240x240. Image width 240 mm, 1.00 mm slice spacing. Slice 83 of 155.
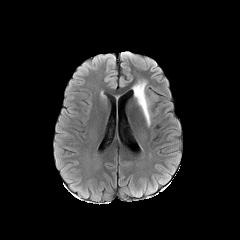
FLAIR magnetic resonance.
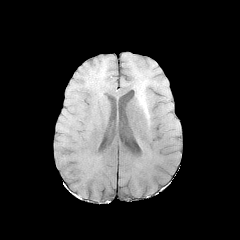
T1-weighted MRI.
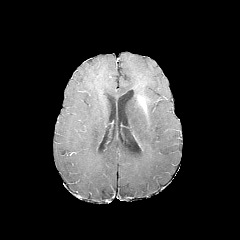
Post-contrast T1-weighted magnetic resonance.
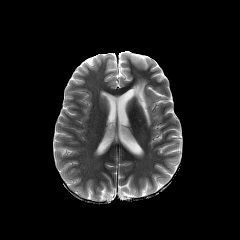
Same slice, T2-weighted magnetic resonance.
enhancing tumor: [138, 95, 147, 112] | peritumoral edema: [139, 99, 150, 125], [132, 81, 147, 101]